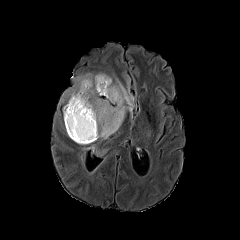
FLAIR magnetic resonance.
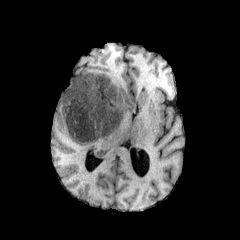
Same slice, T1-weighted MRI.
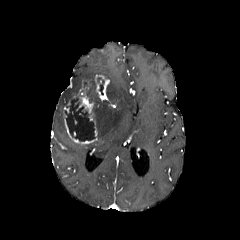
Same slice, post-contrast T1-weighted magnetic resonance.
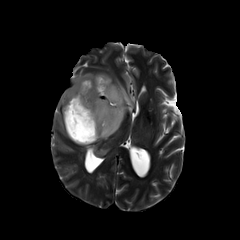
T2-weighted MRI of the same slice.
Head
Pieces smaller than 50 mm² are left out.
peritumoral_edema:
  - {"x1": 93, "y1": 73, "x2": 135, "y2": 139}
  - {"x1": 59, "y1": 73, "x2": 94, "y2": 104}
enhancing_tumor:
  - {"x1": 63, "y1": 75, "x2": 109, "y2": 144}
necrotic_tumor_core:
  - {"x1": 65, "y1": 97, "x2": 94, "y2": 141}